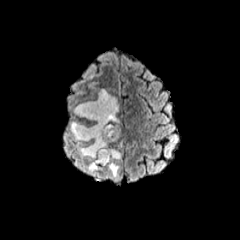
FLAIR MR image.
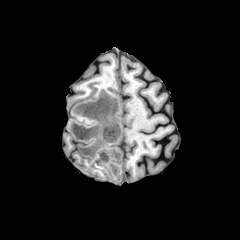
T1-weighted MR image.
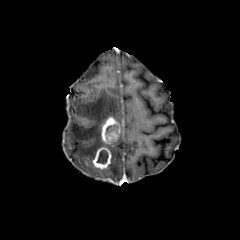
Post-contrast T1-weighted magnetic resonance of the same slice.
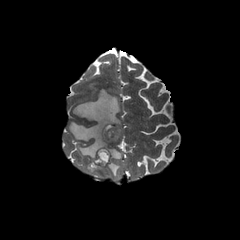
T2-weighted MR image.
Axial plane
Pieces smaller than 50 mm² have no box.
The 2 largest necrotic tumor core regions are bounded by bbox=[104, 124, 118, 137]; bbox=[97, 150, 108, 163]. The largest enhancing tumor region lies within bbox=[92, 115, 121, 169]. The largest peritumoral edema region is bounded by bbox=[69, 89, 121, 179].